Image covers 240 mm x 240 mm; Head; Slice index 116
FLAIR MRI.
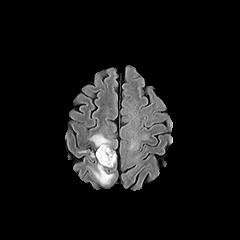
T1-weighted MR.
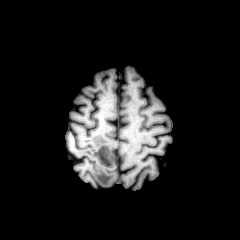
Post-contrast T1-weighted MR.
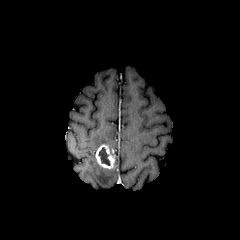
T2-weighted MRI.
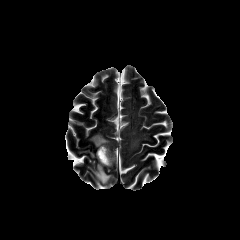
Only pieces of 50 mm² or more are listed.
Annotated regions:
- necrotic tumor core: region(99, 147, 110, 165)
- enhancing tumor: region(95, 144, 115, 168)
- peritumoral edema: region(91, 162, 113, 184); region(90, 133, 110, 147)